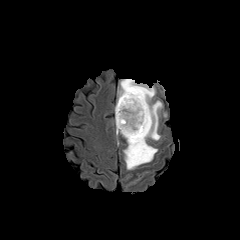
FLAIR MR.
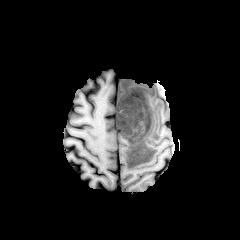
Same slice, T1-weighted MRI.
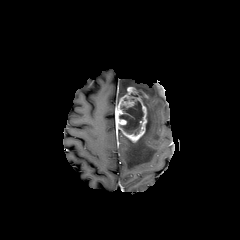
Post-contrast T1-weighted MR image of the same slice.
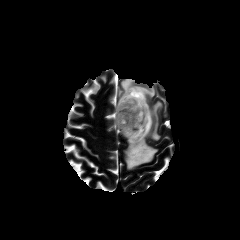
T2-weighted magnetic resonance.
Axial plane | Head
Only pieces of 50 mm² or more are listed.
enhancing tumor: bbox(117, 87, 147, 142)
necrotic tumor core: bbox(119, 101, 143, 134)
peritumoral edema: bbox(120, 79, 162, 169)